Axial plane; 240x240; Head
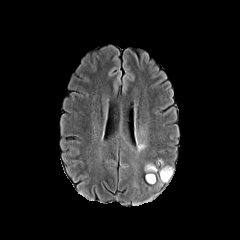
FLAIR MR.
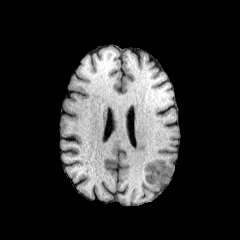
Same slice, T1-weighted MR.
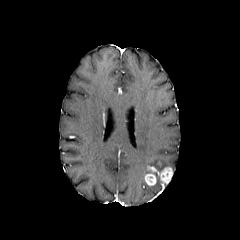
Post-contrast T1-weighted MRI.
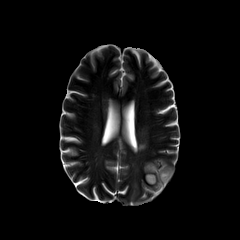
Same slice, T2-weighted MRI.
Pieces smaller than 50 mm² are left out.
- peritumoral edema: <bbox>144, 163, 156, 173</bbox>
- enhancing tumor: <bbox>158, 167, 172, 183</bbox>, <bbox>145, 166, 156, 185</bbox>